FLAIR magnetic resonance.
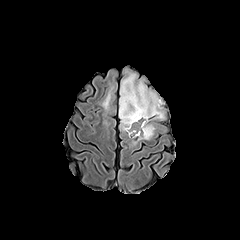
T1-weighted MRI.
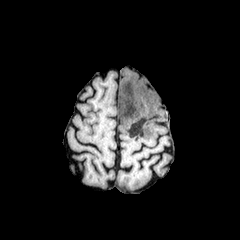
Post-contrast T1-weighted magnetic resonance.
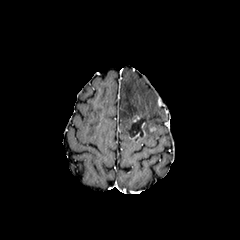
T2-weighted MR image.
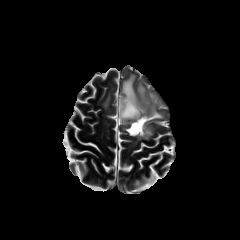
Axial slice, Image size 240x240
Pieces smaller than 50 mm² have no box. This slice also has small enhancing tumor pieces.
{"peritumoral_edema": ["(102,91,110,110)", "(119,73,164,139)"], "necrotic_tumor_core": ["(122,91,146,137)"]}